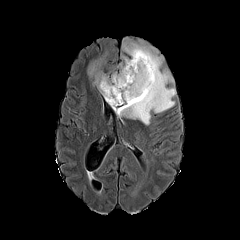
FLAIR MR.
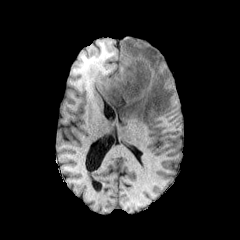
T1-weighted MR image of the same slice.
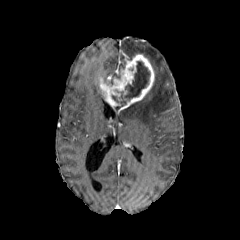
Post-contrast T1-weighted magnetic resonance.
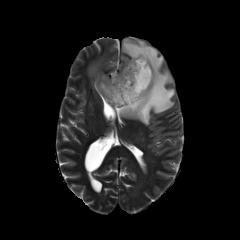
T2-weighted MR image of the same slice.
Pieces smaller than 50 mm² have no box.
enhancing tumor: left=99, top=54, right=154, bottom=114 | peritumoral edema: left=111, top=71, right=120, bottom=78; left=86, top=51, right=110, bottom=94; left=118, top=61, right=124, bottom=72; left=116, top=37, right=176, bottom=125 | necrotic tumor core: left=112, top=61, right=150, bottom=106